240x240. Head. Axial view.
FLAIR MR.
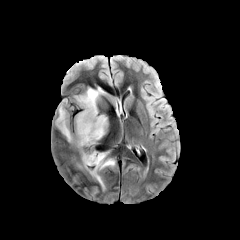
T1-weighted MRI.
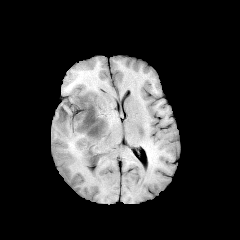
Post-contrast T1-weighted MRI.
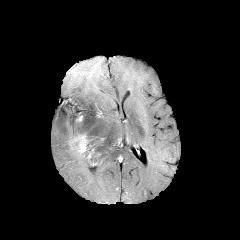
T2-weighted magnetic resonance.
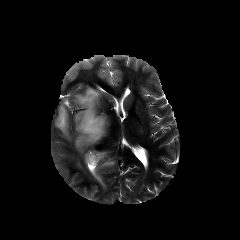
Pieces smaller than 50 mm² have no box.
<segmentation>
  <enhancing_tumor>(x1=75, y1=136, x2=87, y2=152)</enhancing_tumor>
  <peritumoral_edema>(x1=55, y1=87, x2=108, y2=150), (x1=81, y1=148, x2=115, y2=183)</peritumoral_edema>
</segmentation>